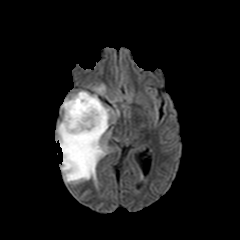
FLAIR magnetic resonance.
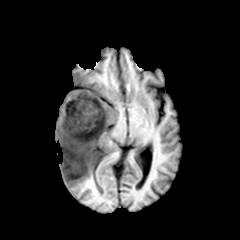
Same slice, T1-weighted magnetic resonance.
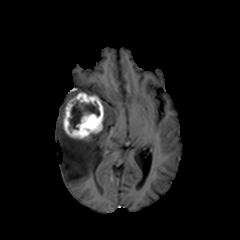
Post-contrast T1-weighted MR.
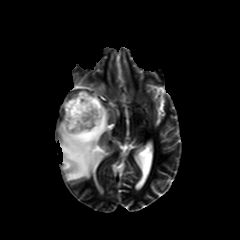
T2-weighted magnetic resonance.
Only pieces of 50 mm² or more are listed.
Annotated regions:
* peritumoral edema: box=[57, 106, 113, 182]; box=[93, 84, 105, 95]
* enhancing tumor: box=[63, 92, 103, 140]
* necrotic tumor core: box=[70, 101, 99, 129]